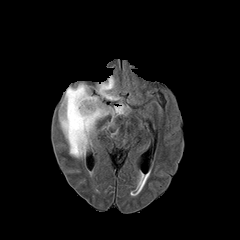
FLAIR magnetic resonance.
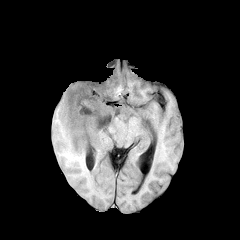
Same slice, T1-weighted magnetic resonance.
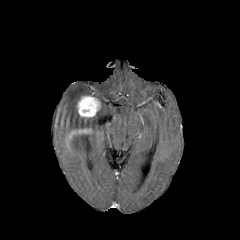
Same slice, post-contrast T1-weighted magnetic resonance.
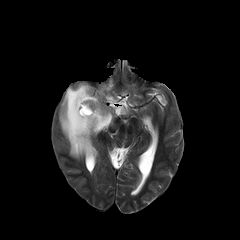
T2-weighted MR image.
Image size 240x240 | Head
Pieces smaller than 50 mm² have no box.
<segmentation>
  <enhancing_tumor>region(76, 95, 100, 121); region(68, 128, 92, 139)</enhancing_tumor>
  <peritumoral_edema>region(59, 83, 128, 158); region(96, 76, 120, 100)</peritumoral_edema>
</segmentation>